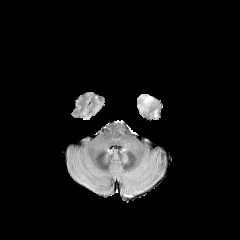
FLAIR MRI.
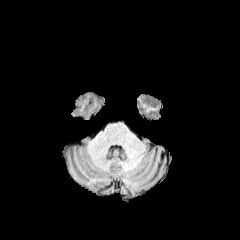
T1-weighted magnetic resonance.
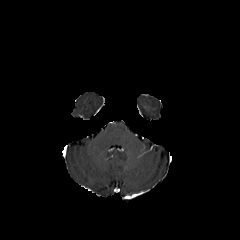
Same slice, post-contrast T1-weighted magnetic resonance.
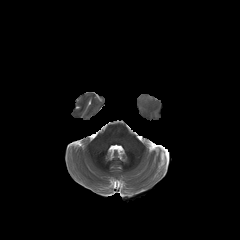
T2-weighted MR.
Image size 240x240
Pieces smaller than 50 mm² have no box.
The largest peritumoral edema region lies within region(140, 95, 152, 105).